FLAIR MR image.
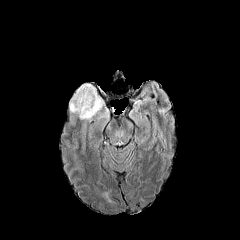
T1-weighted MRI.
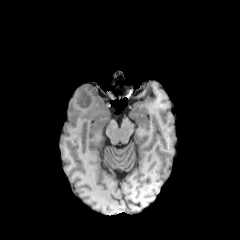
Post-contrast T1-weighted MR.
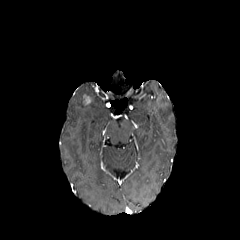
T2-weighted MR image.
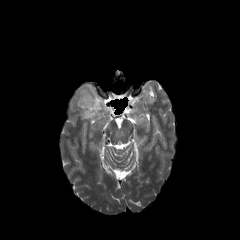
Axial slice, Head
peritumoral edema: box=[67, 83, 109, 125]
enhancing tumor: box=[82, 94, 91, 105]